FLAIR magnetic resonance.
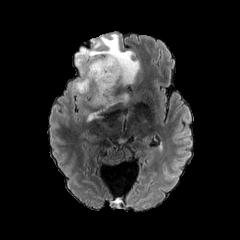
T1-weighted MR image.
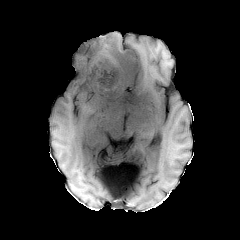
Post-contrast T1-weighted MR.
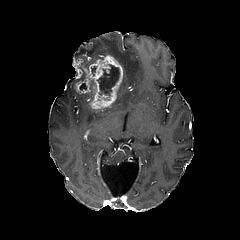
T2-weighted magnetic resonance.
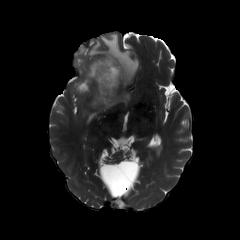
Head.
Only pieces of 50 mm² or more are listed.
Findings:
• necrotic tumor core: 97 65 119 94
• enhancing tumor: 74 54 124 111
• peritumoral edema: 88 111 97 121, 117 94 128 101, 76 33 138 85